Head
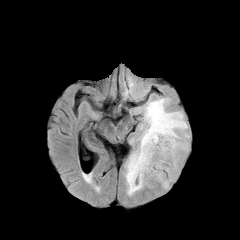
FLAIR MR.
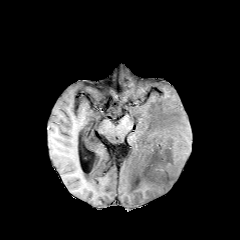
Same slice, T1-weighted MR image.
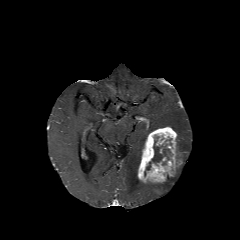
Post-contrast T1-weighted MR.
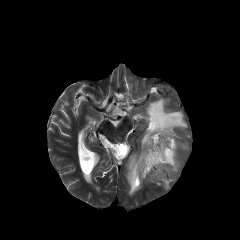
T2-weighted MR image of the same slice.
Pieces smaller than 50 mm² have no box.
Segmented structures:
- enhancing tumor: region(137, 126, 182, 183)
- peritumoral edema: region(124, 98, 190, 195); region(160, 167, 179, 189)
- necrotic tumor core: region(152, 140, 162, 162)